Axial slice, Image size 240x240
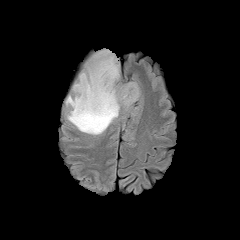
FLAIR MRI.
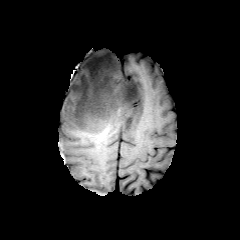
T1-weighted MR image.
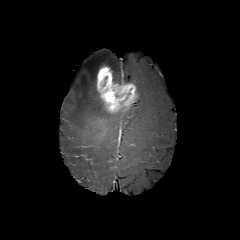
Same slice, post-contrast T1-weighted MR.
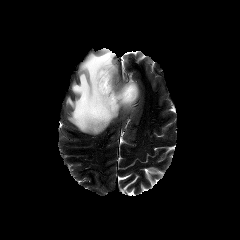
T2-weighted magnetic resonance.
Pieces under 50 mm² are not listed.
enhancing tumor: bounding box 96, 65, 138, 113
peritumoral edema: bounding box 66, 50, 120, 134